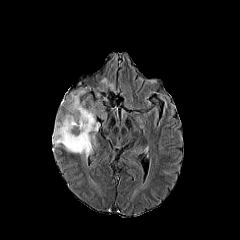
FLAIR MR.
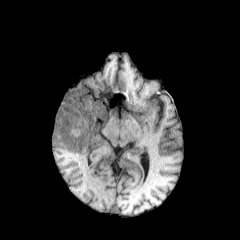
T1-weighted MR image of the same slice.
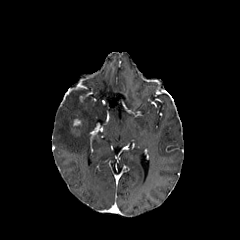
Post-contrast T1-weighted magnetic resonance.
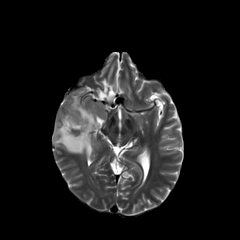
Same slice, T2-weighted MRI.
Axial slice. Brain.
enhancing_tumor:
  - 73 118 81 126
peritumoral_edema:
  - 99 78 116 90
  - 52 89 101 158